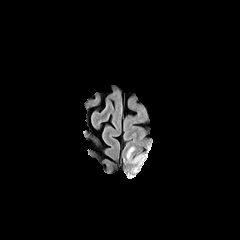
FLAIR magnetic resonance.
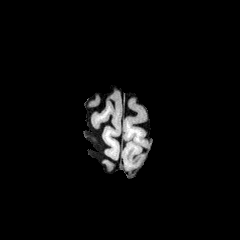
Same slice, T1-weighted MR.
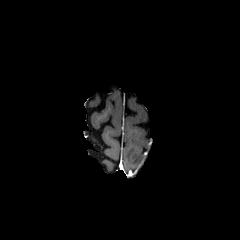
Same slice, post-contrast T1-weighted MR.
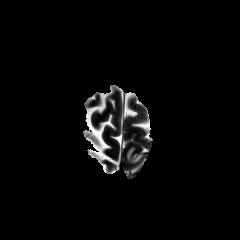
Same slice, T2-weighted magnetic resonance.
Head. Axial plane.
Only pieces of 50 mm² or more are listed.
peritumoral edema — region(127, 147, 134, 160)